Image size 240x240. Slice index 119. Brain. Axial view.
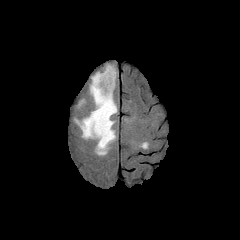
FLAIR MR image.
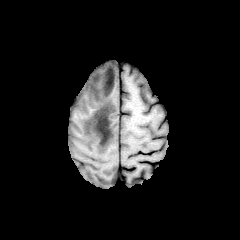
T1-weighted MRI.
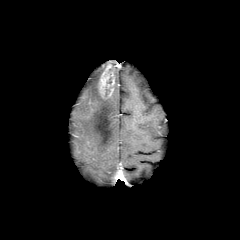
Post-contrast T1-weighted magnetic resonance.
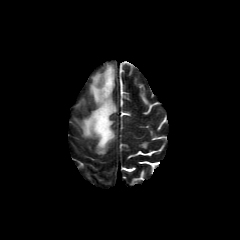
Same slice, T2-weighted MR.
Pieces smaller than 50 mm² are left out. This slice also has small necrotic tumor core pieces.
enhancing tumor: 99 63 114 97
peritumoral edema: 75 72 117 155